FLAIR MRI.
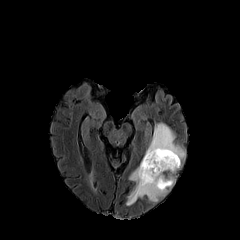
T1-weighted MRI.
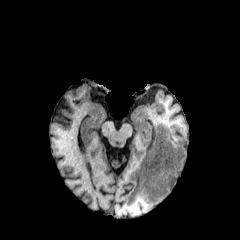
Post-contrast T1-weighted MRI.
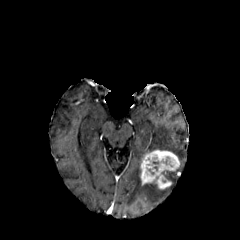
T2-weighted magnetic resonance.
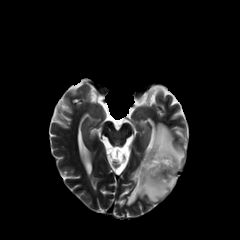
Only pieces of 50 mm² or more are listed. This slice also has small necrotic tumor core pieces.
enhancing tumor: {"x1": 140, "y1": 149, "x2": 180, "y2": 189}
peritumoral edema: {"x1": 126, "y1": 123, "x2": 185, "y2": 205}